Axial plane, Slice 110/155
FLAIR MRI.
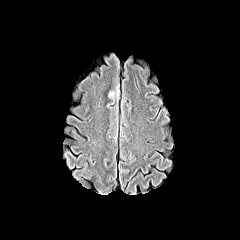
T1-weighted magnetic resonance.
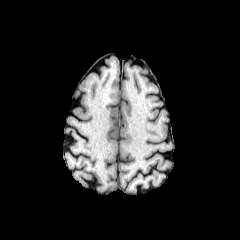
Post-contrast T1-weighted MR.
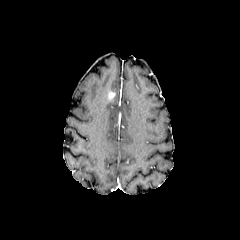
T2-weighted MR.
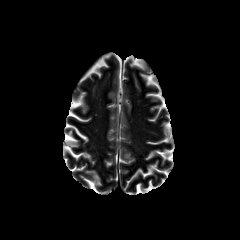
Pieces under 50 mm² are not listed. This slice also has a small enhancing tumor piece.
peritumoral edema at (left=109, top=85, right=118, bottom=96)